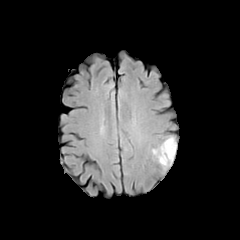
FLAIR MR.
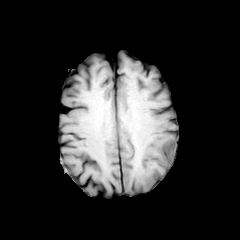
T1-weighted magnetic resonance of the same slice.
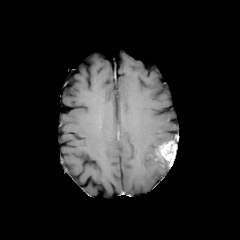
Post-contrast T1-weighted MR image of the same slice.
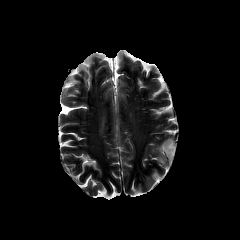
T2-weighted MR of the same slice.
Axial slice. 240x240.
peritumoral edema at 151 136 174 169
enhancing tumor at 157 140 176 166